Head
FLAIR MRI.
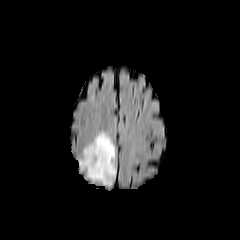
T1-weighted MRI.
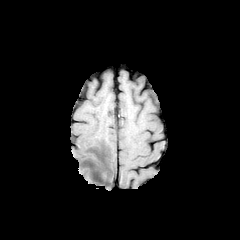
Post-contrast T1-weighted MR image.
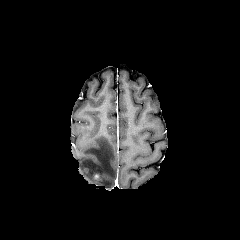
T2-weighted MRI.
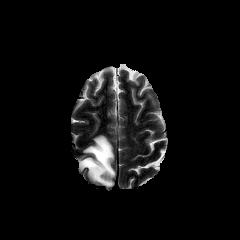
{"peritumoral_edema": ["[x1=78, y1=133, x2=115, y2=186]"], "enhancing_tumor": ["[x1=93, y1=173, x2=101, y2=180]"]}